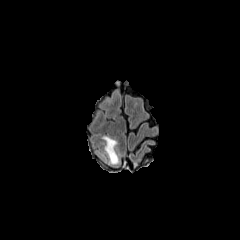
FLAIR MR.
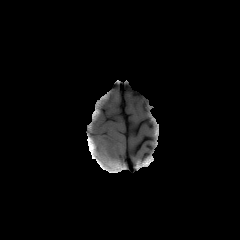
Same slice, T1-weighted MR image.
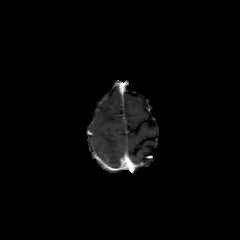
Same slice, post-contrast T1-weighted MR.
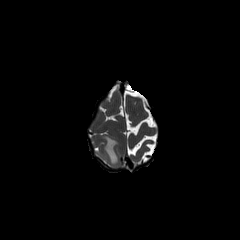
T2-weighted MRI.
Axial slice; Head
peritumoral edema: {"x1": 102, "y1": 136, "x2": 120, "y2": 164}